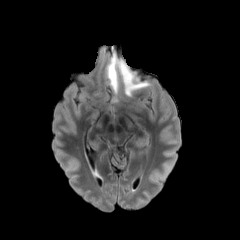
FLAIR MR image.
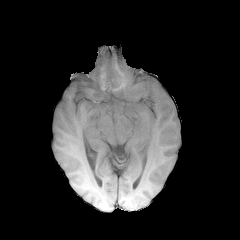
T1-weighted magnetic resonance of the same slice.
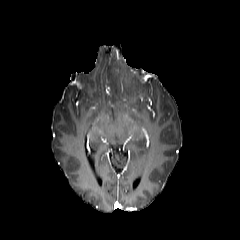
Post-contrast T1-weighted MR.
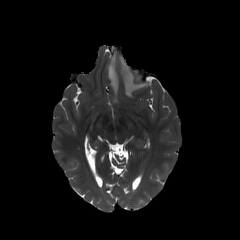
Same slice, T2-weighted MR.
Axial plane; 240x240; Brain
peritumoral edema at x1=107 y1=55 x2=148 y2=102